Axial slice. Slice index 94. Image covers 240 mm x 240 mm.
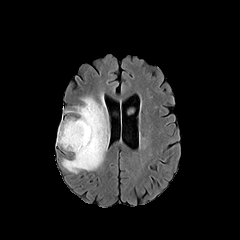
FLAIR MRI.
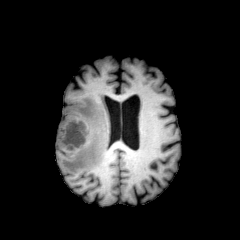
T1-weighted magnetic resonance of the same slice.
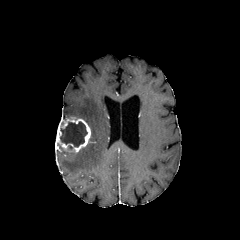
Post-contrast T1-weighted magnetic resonance of the same slice.
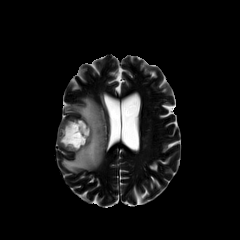
T2-weighted MR image of the same slice.
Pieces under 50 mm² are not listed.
enhancing tumor — {"x1": 56, "y1": 117, "x2": 91, "y2": 152}
peritumoral edema — {"x1": 62, "y1": 96, "x2": 109, "y2": 173}
necrotic tumor core — {"x1": 60, "y1": 122, "x2": 87, "y2": 146}